FLAIR MR image.
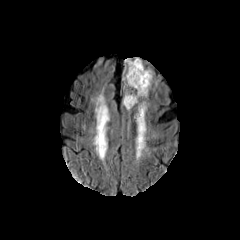
T1-weighted MR.
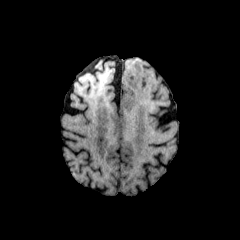
Post-contrast T1-weighted MR.
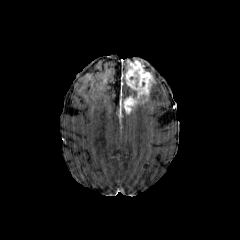
T2-weighted MR image.
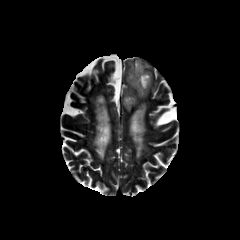
Head.
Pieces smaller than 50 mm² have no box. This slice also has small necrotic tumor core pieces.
The largest peritumoral edema region is at <box>121,59,135,98</box>. The enhancing tumor is located at <box>123,60,153,112</box>.